240x240; Head
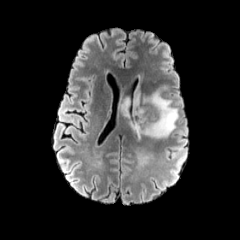
FLAIR MR.
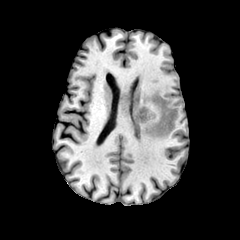
T1-weighted MR.
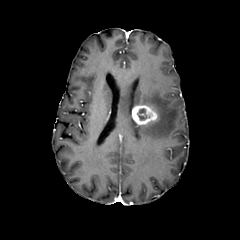
Post-contrast T1-weighted magnetic resonance.
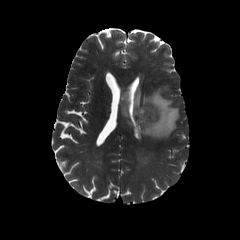
T2-weighted magnetic resonance of the same slice.
Annotated regions:
• enhancing tumor: (131,105,157,125)
• peritumoral edema: (121,85,178,138)
• necrotic tumor core: (137,108,146,120)